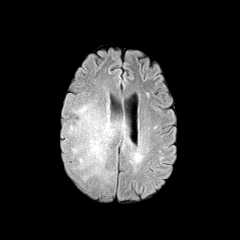
FLAIR MRI.
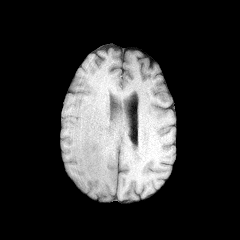
T1-weighted magnetic resonance.
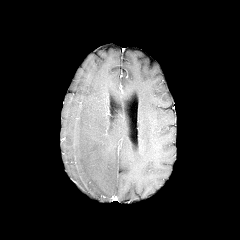
Same slice, post-contrast T1-weighted magnetic resonance.
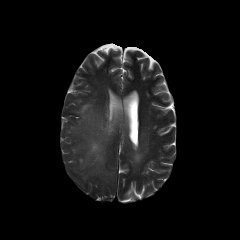
T2-weighted MR image.
Head | Axial slice
The peritumoral edema is bounded by (68, 102, 127, 181).